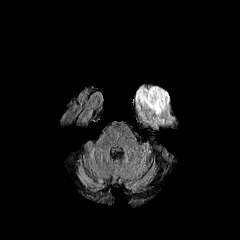
FLAIR MR.
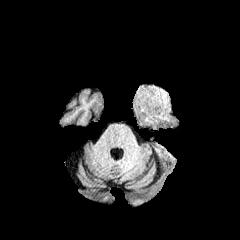
T1-weighted magnetic resonance of the same slice.
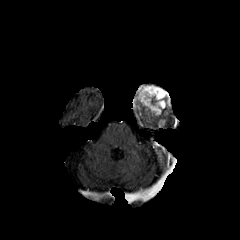
Post-contrast T1-weighted MRI.
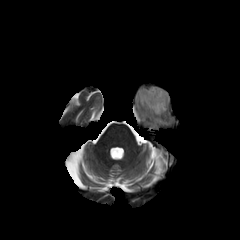
Same slice, T2-weighted MR image.
Axial slice. Brain.
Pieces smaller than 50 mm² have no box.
The largest enhancing tumor region is located at [135, 85, 170, 115]. The peritumoral edema is bounded by [138, 107, 173, 127].